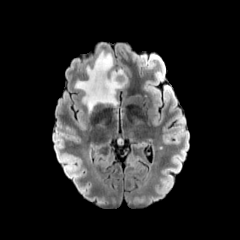
FLAIR MR image.
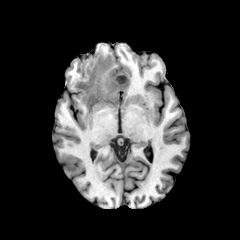
T1-weighted magnetic resonance of the same slice.
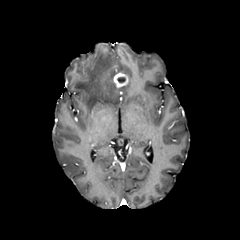
Same slice, post-contrast T1-weighted MR image.
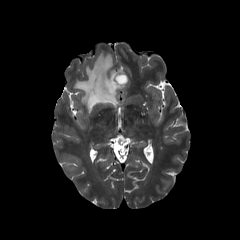
T2-weighted MRI.
240x240 px; Axial plane
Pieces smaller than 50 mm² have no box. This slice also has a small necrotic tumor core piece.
<segmentation>
  <enhancing_tumor><bbox>113, 72, 128, 88</bbox></enhancing_tumor>
  <peritumoral_edema><bbox>74, 51, 124, 112</bbox></peritumoral_edema>
</segmentation>